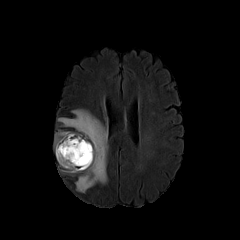
FLAIR magnetic resonance.
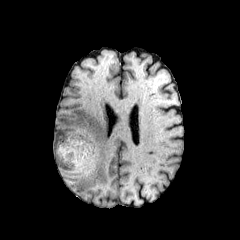
T1-weighted magnetic resonance.
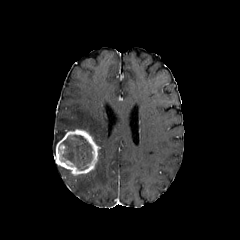
Post-contrast T1-weighted MR image of the same slice.
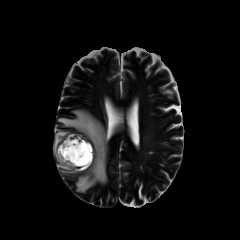
Same slice, T2-weighted MR image.
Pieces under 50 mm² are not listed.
enhancing tumor at 55,129,100,175
peritumoral edema at 57,109,108,192; 54,130,66,153
necrotic tumor core at 62,135,92,170